FLAIR MR.
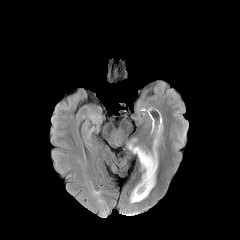
T1-weighted magnetic resonance.
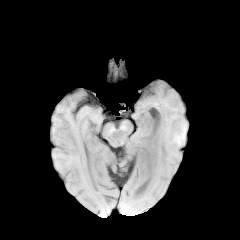
Post-contrast T1-weighted MRI.
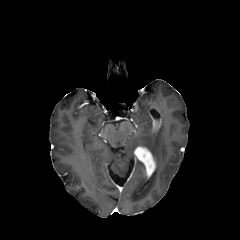
T2-weighted MR image.
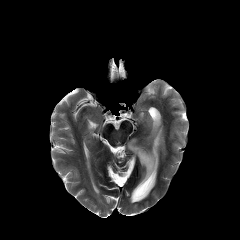
Axial view
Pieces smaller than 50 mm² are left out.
peritumoral edema = 128:139:139:153, 130:122:161:202
enhancing tumor = 134:146:156:178